FLAIR MR.
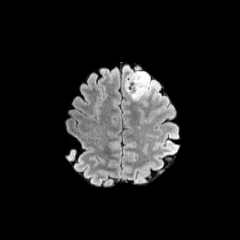
T1-weighted MR.
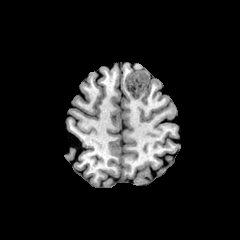
Post-contrast T1-weighted MRI.
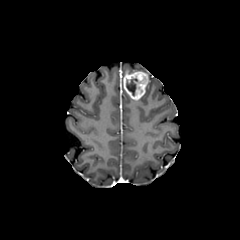
T2-weighted MRI.
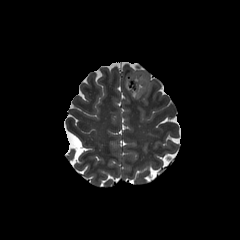
Head
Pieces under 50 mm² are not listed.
Annotated regions:
• necrotic tumor core: [126, 78, 137, 95]
• enhancing tumor: [123, 72, 148, 99]
• peritumoral edema: [143, 77, 155, 95]